FLAIR MRI.
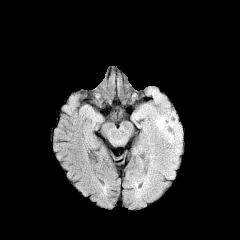
T1-weighted MRI.
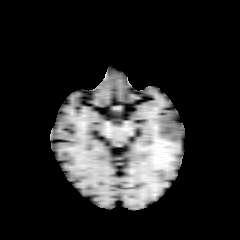
Post-contrast T1-weighted MR.
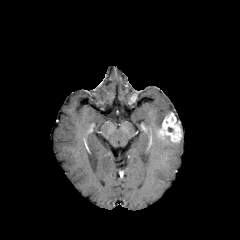
T2-weighted magnetic resonance.
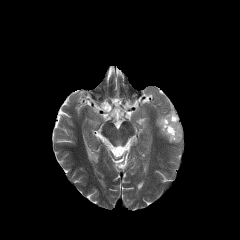
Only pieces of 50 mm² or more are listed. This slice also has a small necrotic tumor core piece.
enhancing tumor: 158,112,182,142 | peritumoral edema: 155,115,165,128